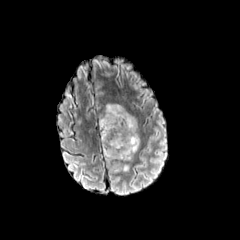
FLAIR MRI.
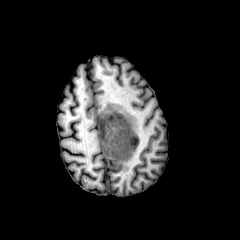
T1-weighted MR of the same slice.
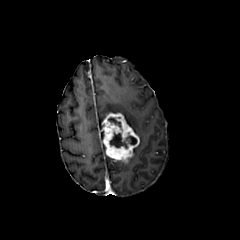
Post-contrast T1-weighted magnetic resonance.
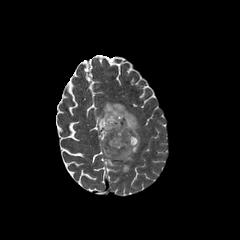
T2-weighted MR image of the same slice.
Axial view
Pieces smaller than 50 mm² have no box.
3 necrotic tumor core regions appear at 126, 136, 136, 144; 110, 133, 127, 148; 108, 117, 121, 127. The 2 largest peritumoral edema regions are located at 122, 156, 133, 171; 99, 103, 139, 141. The enhancing tumor is at 101, 112, 139, 162.